Slice 59 of 155. Brain. Image width 240 mm, 1.00 mm slice spacing. 240x240. Axial slice.
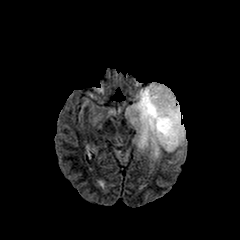
FLAIR MR.
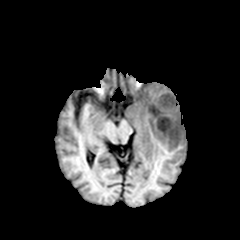
T1-weighted MR of the same slice.
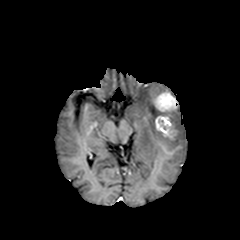
Post-contrast T1-weighted MR.
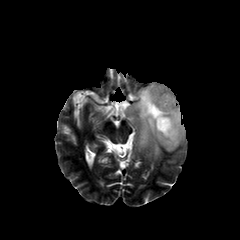
T2-weighted MR image.
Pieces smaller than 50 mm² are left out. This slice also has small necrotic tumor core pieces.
The enhancing tumor is bounded by 153,92,177,139. The largest peritumoral edema region lies within 126,83,185,160.